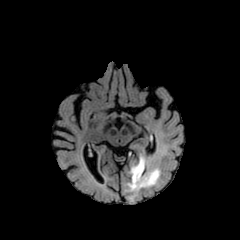
FLAIR magnetic resonance.
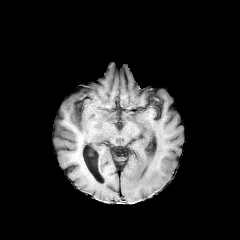
T1-weighted MRI of the same slice.
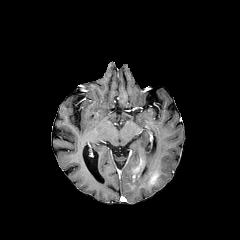
Post-contrast T1-weighted MR image of the same slice.
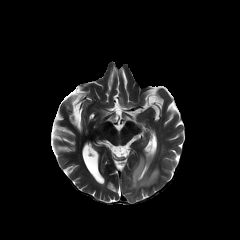
Same slice, T2-weighted magnetic resonance.
Image size 240x240 | Head | Axial view
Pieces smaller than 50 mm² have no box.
Findings:
- peritumoral edema: (left=129, top=155, right=160, bottom=192)
- enhancing tumor: (left=149, top=172, right=158, bottom=184), (left=133, top=159, right=143, bottom=178)